Brain; Slice 50 of 155
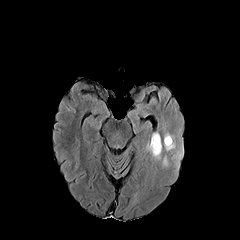
FLAIR MRI.
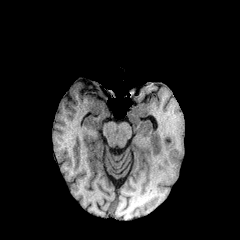
T1-weighted MR image.
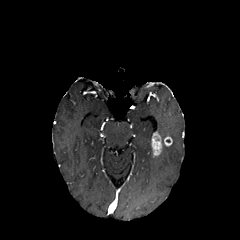
Post-contrast T1-weighted MR.
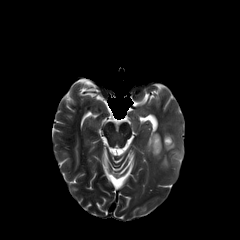
T2-weighted MR image of the same slice.
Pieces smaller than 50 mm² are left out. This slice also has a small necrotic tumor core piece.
<segmentation>
  <peritumoral_edema>region(162, 156, 168, 166); region(174, 147, 183, 163); region(164, 132, 175, 151)</peritumoral_edema>
  <enhancing_tumor>region(164, 136, 172, 146); region(151, 132, 162, 156)</enhancing_tumor>
</segmentation>